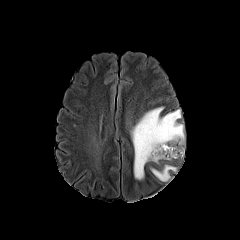
FLAIR MRI.
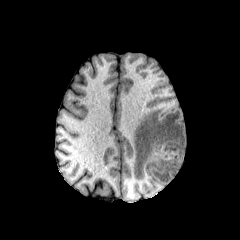
T1-weighted magnetic resonance.
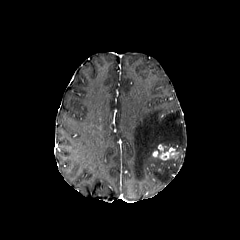
Post-contrast T1-weighted magnetic resonance of the same slice.
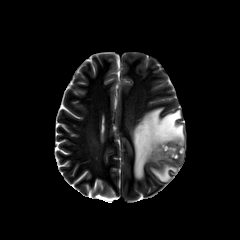
Same slice, T2-weighted MRI.
Head, 240x240 px
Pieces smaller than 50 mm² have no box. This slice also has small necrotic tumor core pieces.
enhancing tumor: x1=152, y1=144, x2=183, y2=160 | peritumoral edema: x1=151, y1=165, x2=176, y2=181; x1=131, y1=107, x2=184, y2=180